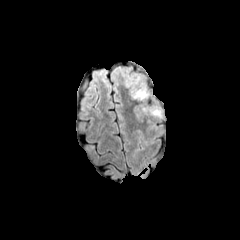
FLAIR MRI.
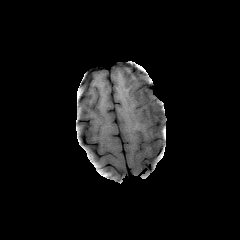
T1-weighted MRI.
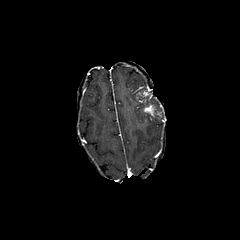
Same slice, post-contrast T1-weighted MRI.
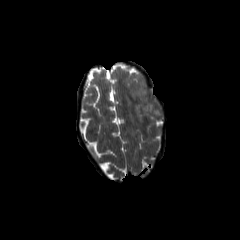
T2-weighted MRI.
Axial view. Head.
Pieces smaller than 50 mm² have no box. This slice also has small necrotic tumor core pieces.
2 enhancing tumor regions appear at 142 105 160 120, 133 85 152 102. The 2 largest peritumoral edema regions are located at 135 104 148 117, 120 71 146 99.